FLAIR magnetic resonance.
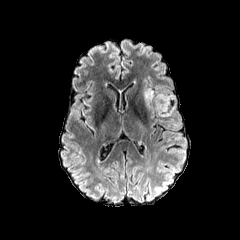
T1-weighted magnetic resonance.
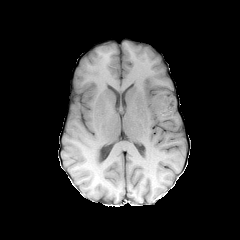
Post-contrast T1-weighted magnetic resonance.
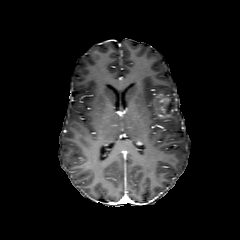
T2-weighted MR image.
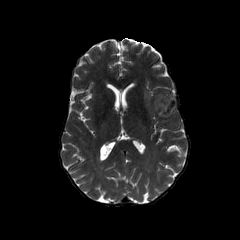
240x240 px. Axial view. Brain.
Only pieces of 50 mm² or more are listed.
necrotic tumor core: bounding box [167, 99, 173, 113]
peritumoral edema: bounding box [144, 89, 153, 104]
enhancing tumor: bounding box [152, 93, 176, 117]